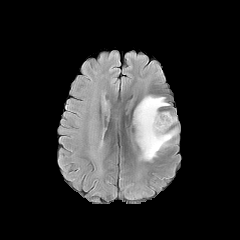
FLAIR magnetic resonance.
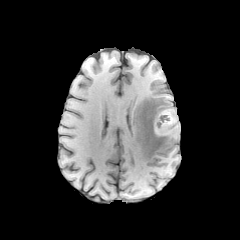
Same slice, T1-weighted magnetic resonance.
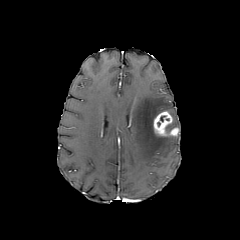
Post-contrast T1-weighted MRI.
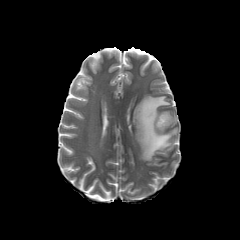
T2-weighted magnetic resonance.
240x240, Brain
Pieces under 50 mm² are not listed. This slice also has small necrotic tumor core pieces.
Annotated regions:
- peritumoral edema: 133, 95, 173, 160
- enhancing tumor: 153, 111, 179, 136